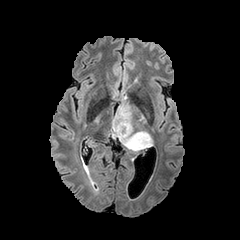
FLAIR magnetic resonance.
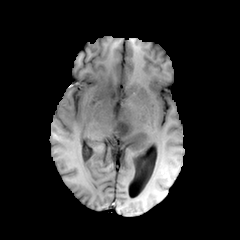
T1-weighted MRI of the same slice.
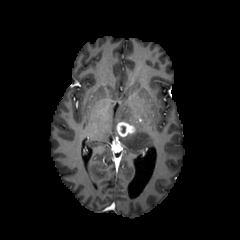
Post-contrast T1-weighted MRI.
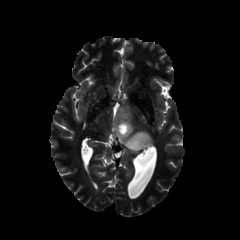
T2-weighted MR image.
Axial plane
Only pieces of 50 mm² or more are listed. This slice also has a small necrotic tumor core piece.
enhancing tumor: rect(117, 122, 134, 135) | peritumoral edema: rect(114, 105, 150, 149)